FLAIR MR.
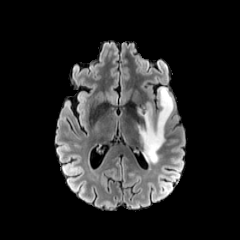
T1-weighted MR.
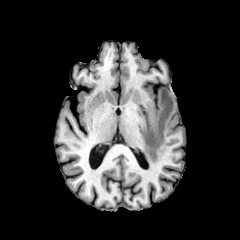
Post-contrast T1-weighted MR.
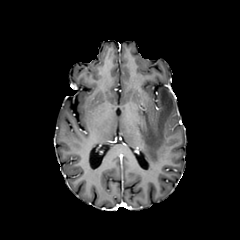
T2-weighted magnetic resonance.
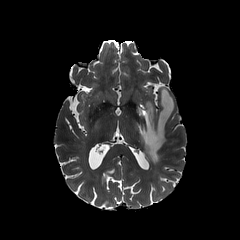
Axial plane | 240x240
peritumoral edema at 136,87,174,163